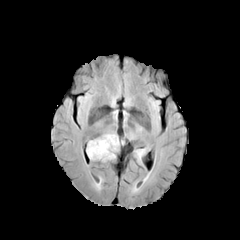
FLAIR magnetic resonance.
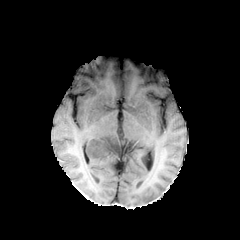
T1-weighted MR.
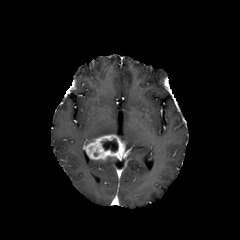
Post-contrast T1-weighted MR.
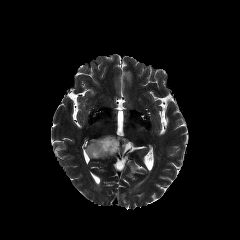
T2-weighted MR of the same slice.
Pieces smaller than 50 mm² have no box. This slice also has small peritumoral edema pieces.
- enhancing tumor: box=[85, 134, 124, 160]
- necrotic tumor core: box=[102, 139, 117, 151]